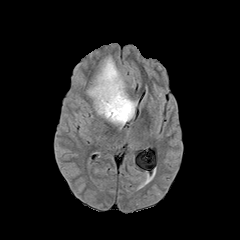
FLAIR MR image.
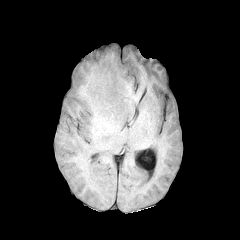
T1-weighted magnetic resonance.
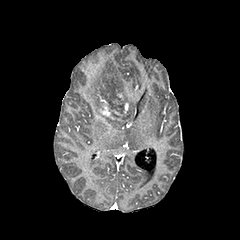
Post-contrast T1-weighted MR.
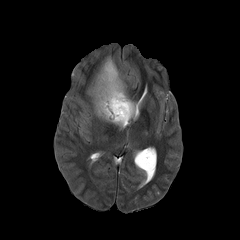
T2-weighted MR image.
Axial slice
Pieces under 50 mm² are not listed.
necrotic tumor core — box(108, 101, 124, 114)
peritumoral edema — box(87, 57, 136, 126)
enhancing tumor — box(100, 94, 128, 119)